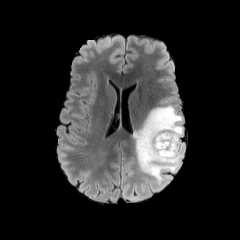
FLAIR magnetic resonance.
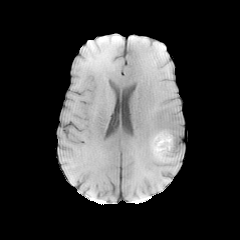
Same slice, T1-weighted MR image.
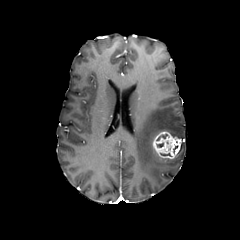
Same slice, post-contrast T1-weighted MR image.
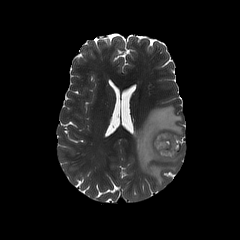
T2-weighted magnetic resonance.
Brain
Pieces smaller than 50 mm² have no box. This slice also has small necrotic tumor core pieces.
peritumoral edema: bounding box <box>133,105,184,184</box>
enhancing tumor: bounding box <box>152,131,180,159</box>